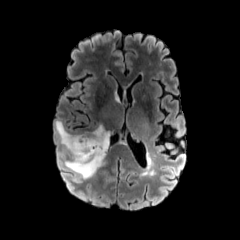
FLAIR MR image.
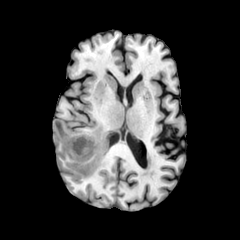
Same slice, T1-weighted MRI.
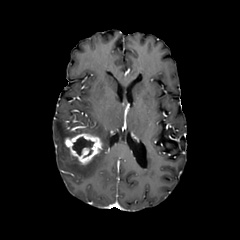
Post-contrast T1-weighted MRI of the same slice.
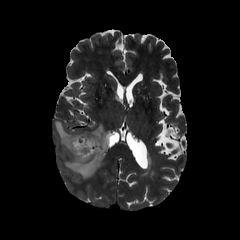
T2-weighted MR.
Brain
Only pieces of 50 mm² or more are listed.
peritumoral edema: [55, 120, 109, 178]
enhancing tumor: [64, 133, 102, 164]
necrotic tumor core: [72, 137, 93, 155]